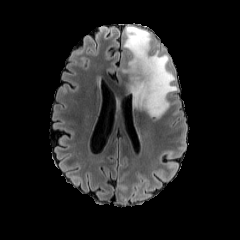
FLAIR MR image.
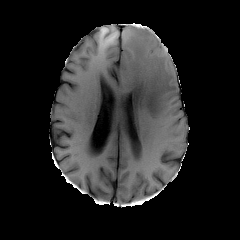
T1-weighted MRI of the same slice.
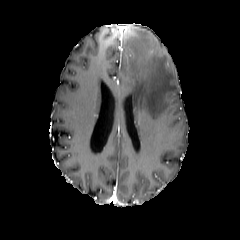
Post-contrast T1-weighted MRI.
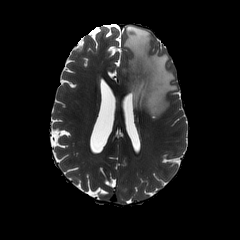
T2-weighted MR of the same slice.
Head, 240x240 px, Axial slice
Segmented structures:
• peritumoral edema: left=122, top=25, right=177, bottom=120